Slice 57 of 155 | Axial slice
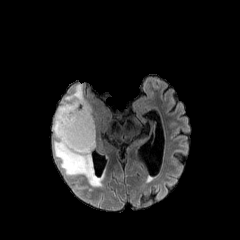
FLAIR MR.
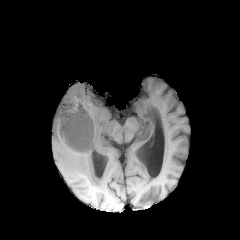
T1-weighted MR of the same slice.
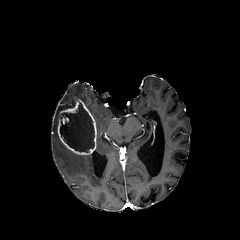
Post-contrast T1-weighted MR.
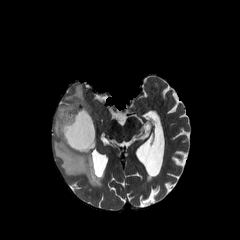
T2-weighted magnetic resonance.
The necrotic tumor core is at 60,102,94,152. The enhancing tumor lies within 57,99,96,155. The peritumoral edema lies within 53,84,104,186.